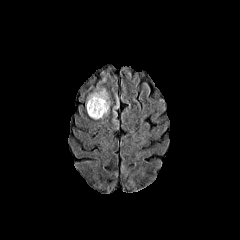
FLAIR MR.
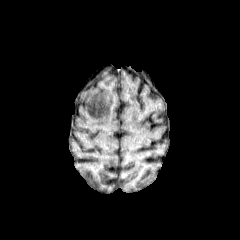
T1-weighted magnetic resonance of the same slice.
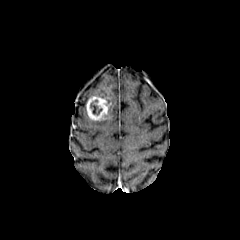
Same slice, post-contrast T1-weighted MRI.
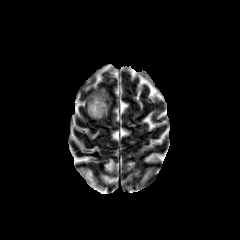
T2-weighted magnetic resonance.
Image size 240x240, Brain
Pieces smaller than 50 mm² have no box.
<segmentation>
  <enhancing_tumor>86,94,111,120</enhancing_tumor>
  <necrotic_tumor_core>90,103,102,114</necrotic_tumor_core>
  <peritumoral_edema>89,89,106,97; 111,94,119,124</peritumoral_edema>
</segmentation>